FLAIR MRI.
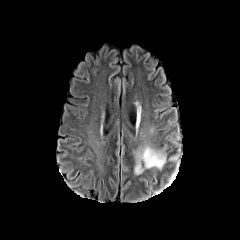
T1-weighted MR.
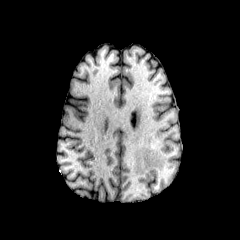
Post-contrast T1-weighted MRI.
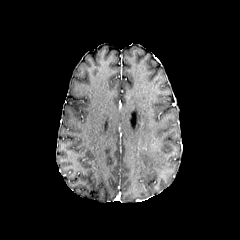
T2-weighted MR.
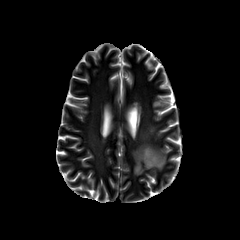
Brain
The peritumoral edema lies within rect(134, 145, 165, 174).